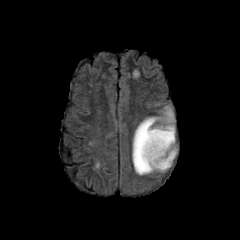
FLAIR magnetic resonance.
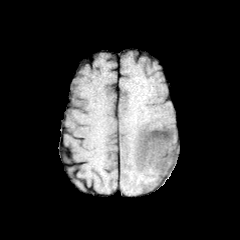
Same slice, T1-weighted magnetic resonance.
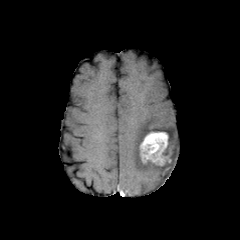
Post-contrast T1-weighted MRI.
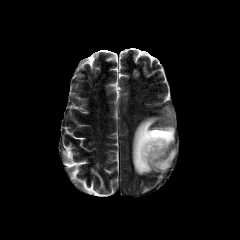
T2-weighted magnetic resonance.
Head, Axial slice
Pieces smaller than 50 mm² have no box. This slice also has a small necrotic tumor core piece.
peritumoral edema — 132:106:177:175
enhancing tumor — 139:131:171:166